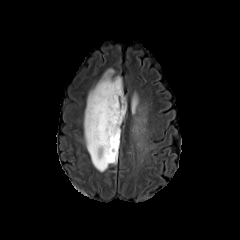
FLAIR MRI.
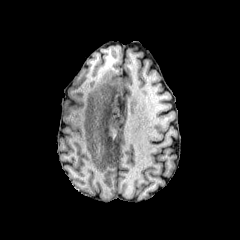
T1-weighted magnetic resonance.
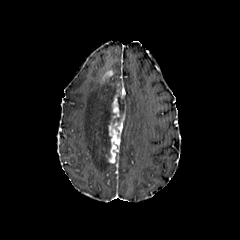
Same slice, post-contrast T1-weighted magnetic resonance.
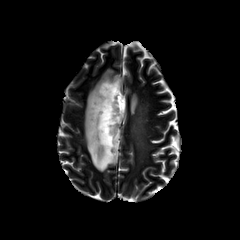
T2-weighted MR.
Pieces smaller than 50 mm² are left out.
necrotic tumor core: bounding box [x1=118, y1=96, x2=125, y2=113]
peritumoral edema: bounding box [x1=84, y1=75, x2=122, y2=171], [x1=131, y1=93, x2=138, y2=114]
enhancing tumor: bounding box [x1=101, y1=70, x2=113, y2=83], [x1=106, y1=82, x2=125, y2=163]